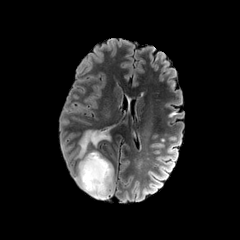
FLAIR MR.
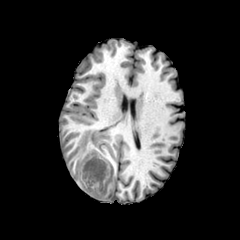
T1-weighted magnetic resonance.
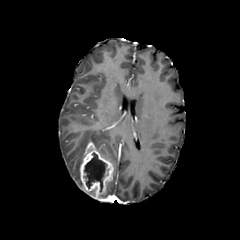
Same slice, post-contrast T1-weighted MR image.
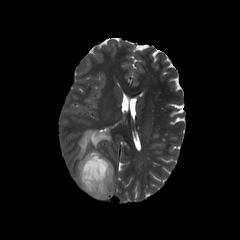
T2-weighted MR of the same slice.
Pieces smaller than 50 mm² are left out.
<segmentation>
  <enhancing_tumor>bbox=[80, 142, 113, 200]</enhancing_tumor>
  <necrotic_tumor_core>bbox=[84, 153, 106, 192]</necrotic_tumor_core>
  <peritumoral_edema>bbox=[74, 130, 110, 188]; bbox=[109, 173, 114, 195]</peritumoral_edema>
</segmentation>